FLAIR magnetic resonance.
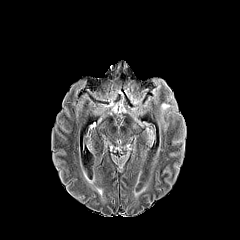
T1-weighted MRI.
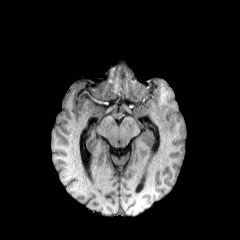
Post-contrast T1-weighted MR image.
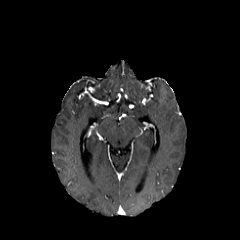
T2-weighted MR.
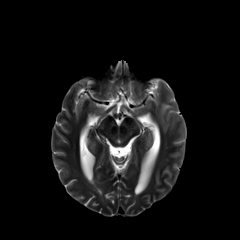
240x240 px | Head
peritumoral edema: 161, 103, 177, 114; 161, 116, 168, 130